Head
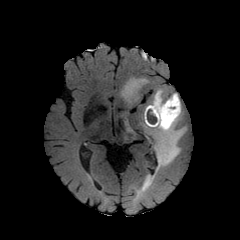
FLAIR MR.
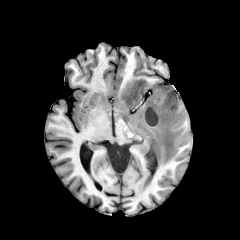
T1-weighted MR image of the same slice.
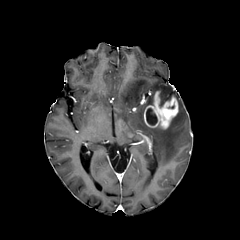
Post-contrast T1-weighted MR image of the same slice.
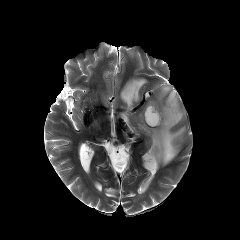
T2-weighted MR.
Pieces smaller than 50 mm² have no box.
enhancing_tumor:
  - bbox(144, 91, 178, 128)
necrotic_tumor_core:
  - bbox(146, 108, 157, 125)
peritumoral_edema:
  - bbox(143, 93, 186, 171)
  - bbox(121, 78, 147, 104)
  - bbox(156, 86, 170, 105)